Image size 240x240 | Axial slice | Head
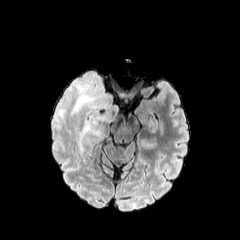
FLAIR MRI.
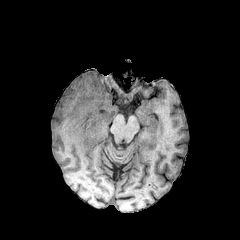
Same slice, T1-weighted magnetic resonance.
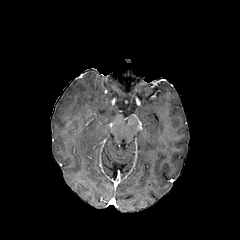
Post-contrast T1-weighted MR of the same slice.
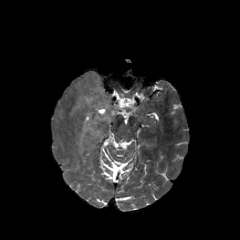
T2-weighted MRI.
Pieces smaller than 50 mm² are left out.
Annotated regions:
- peritumoral edema: 53:70:119:150